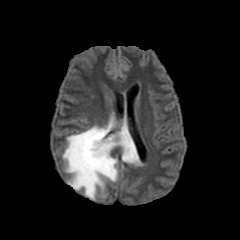
FLAIR MR image.
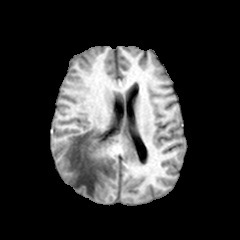
T1-weighted magnetic resonance.
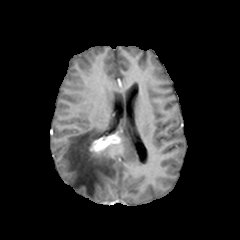
Post-contrast T1-weighted magnetic resonance.
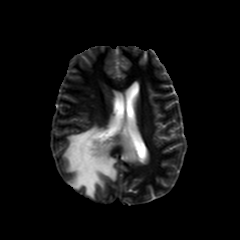
T2-weighted MR image.
Brain, Axial slice
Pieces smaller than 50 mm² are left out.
Findings:
* enhancing tumor: 89, 133, 120, 154
* peritumoral edema: 62, 125, 141, 199